Head; Axial view; Slice index 115
FLAIR magnetic resonance.
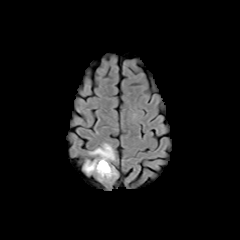
T1-weighted magnetic resonance.
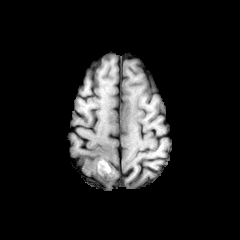
Post-contrast T1-weighted MRI.
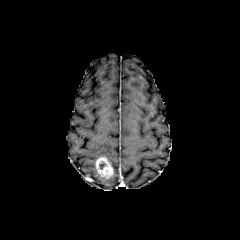
T2-weighted MRI.
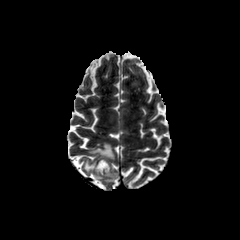
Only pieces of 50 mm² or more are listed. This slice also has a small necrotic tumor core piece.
The enhancing tumor is at 95:157:113:178. 3 peritumoral edema regions are bounded by 98:167:117:180, 90:143:114:160, 84:160:97:174.